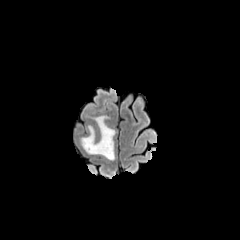
FLAIR MR image.
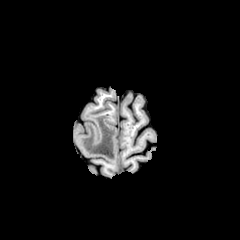
Same slice, T1-weighted magnetic resonance.
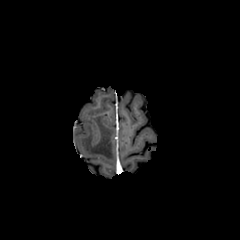
Post-contrast T1-weighted MR.
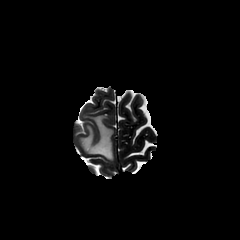
Same slice, T2-weighted MRI.
240x240
The peritumoral edema is at x1=80 y1=115 x2=115 y2=160.